Image size 240x240.
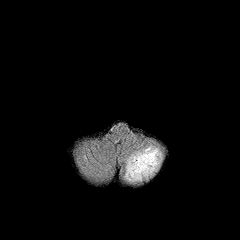
FLAIR MR image.
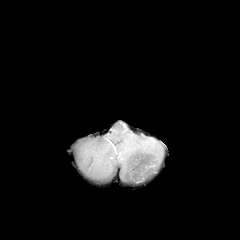
T1-weighted MR.
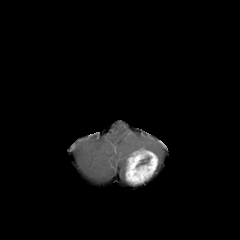
Same slice, post-contrast T1-weighted magnetic resonance.
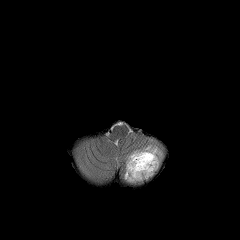
T2-weighted MR.
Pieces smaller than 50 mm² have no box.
necrotic tumor core: bbox(136, 156, 149, 166)
enhancing tumor: bbox(125, 148, 158, 184)
peritumoral edema: bbox(120, 140, 163, 171)